Axial slice; Image width 240 mm; Head; Slice index 97
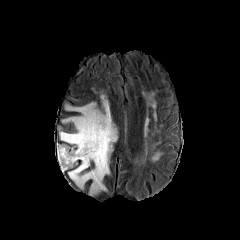
FLAIR MR.
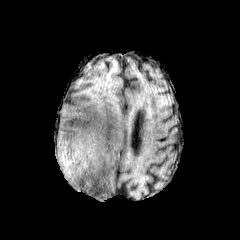
Same slice, T1-weighted MRI.
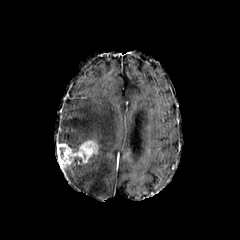
Post-contrast T1-weighted MRI.
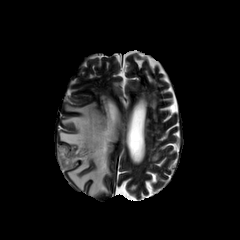
Same slice, T2-weighted MR image.
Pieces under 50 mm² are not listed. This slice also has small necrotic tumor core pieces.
enhancing tumor: region(58, 140, 100, 172) | peritumoral edema: region(60, 100, 115, 194)